Slice index 85. Axial slice.
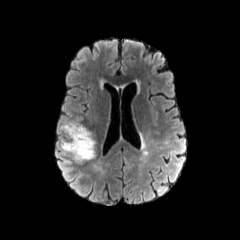
FLAIR magnetic resonance.
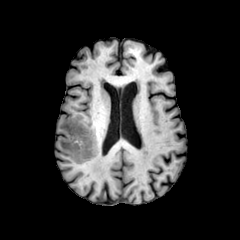
T1-weighted magnetic resonance.
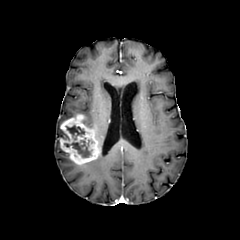
Post-contrast T1-weighted MR image.
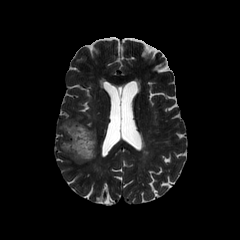
T2-weighted magnetic resonance.
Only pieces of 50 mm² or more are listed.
enhancing tumor: bounding box bbox=[60, 114, 99, 164]
necrotic tumor core: bounding box bbox=[64, 140, 90, 157]; bbox=[66, 125, 84, 139]